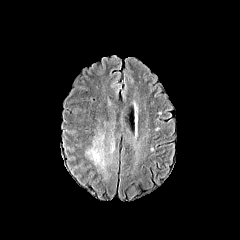
FLAIR magnetic resonance.
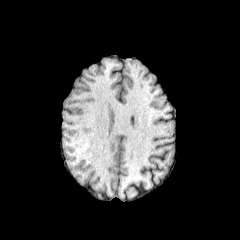
Same slice, T1-weighted MRI.
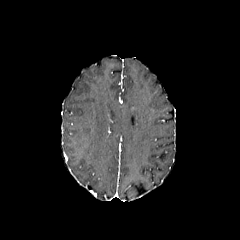
Post-contrast T1-weighted magnetic resonance.
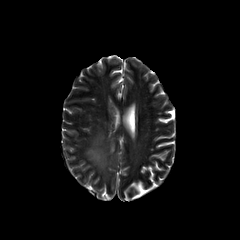
T2-weighted magnetic resonance.
Brain.
2 peritumoral edema regions are located at box(109, 138, 114, 154); box(86, 134, 111, 171).